FLAIR MR.
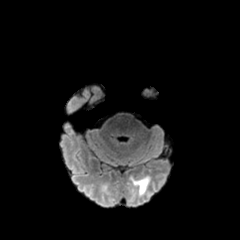
T1-weighted MRI.
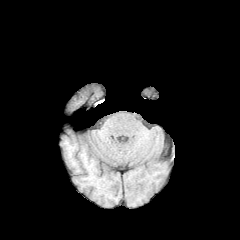
Post-contrast T1-weighted magnetic resonance.
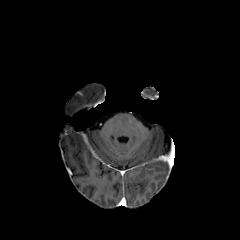
T2-weighted MR.
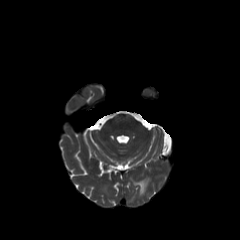
240x240, Brain
The peritumoral edema appears at 133 177 149 195.